Image width 240 mm, 1.00 mm slice spacing, Brain, Axial view, Slice index 111
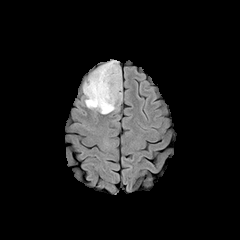
FLAIR MR image.
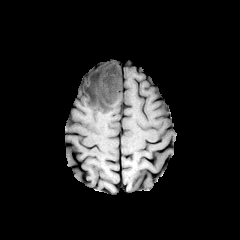
Same slice, T1-weighted magnetic resonance.
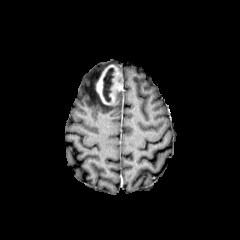
Same slice, post-contrast T1-weighted MRI.
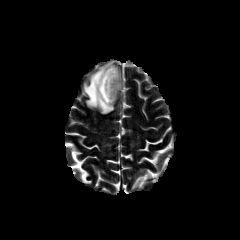
T2-weighted MR.
peritumoral edema: x1=83 y1=60 x2=122 y2=114
necrotic tumor core: x1=102 y1=68 x2=114 y2=102
enhancing tumor: x1=95 y1=65 x2=122 y2=104